FLAIR magnetic resonance.
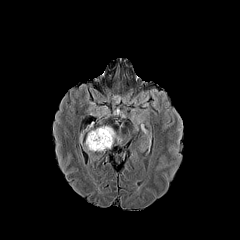
T1-weighted MR image.
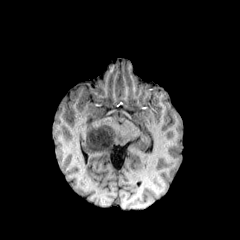
Post-contrast T1-weighted magnetic resonance.
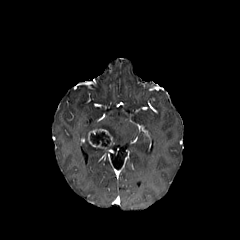
T2-weighted MRI.
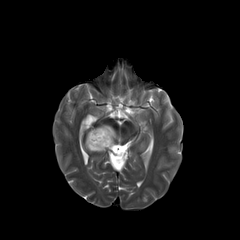
Head; 240x240
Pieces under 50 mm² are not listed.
peritumoral_edema:
  - (86,140,104,151)
  - (100,126,115,140)
enhancing_tumor:
  - (87,128,112,149)
necrotic_tumor_core:
  - (90,132,110,146)